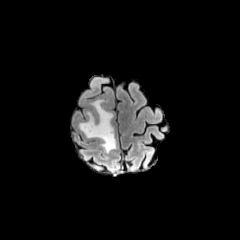
FLAIR magnetic resonance.
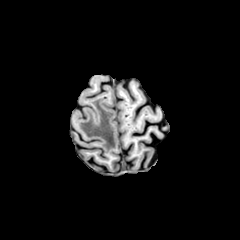
T1-weighted MR image.
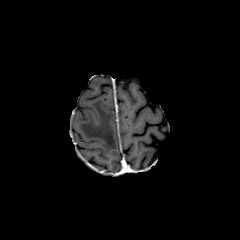
Same slice, post-contrast T1-weighted MRI.
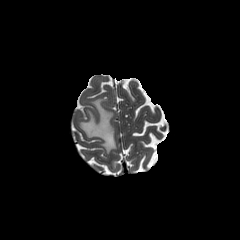
T2-weighted magnetic resonance of the same slice.
240x240 | Head | Axial plane
Annotated regions:
* peritumoral edema: [78,98,116,153]